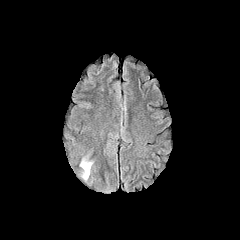
FLAIR MRI.
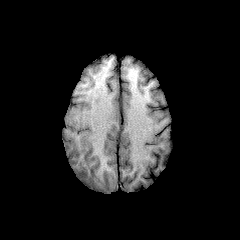
T1-weighted MR.
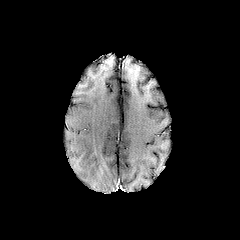
Post-contrast T1-weighted MR image of the same slice.
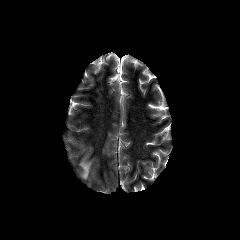
T2-weighted magnetic resonance of the same slice.
Axial plane; 240x240 px
Annotated regions:
• peritumoral edema: 80, 161, 91, 179